Image width 240 mm, 1.00 mm slice spacing | Brain
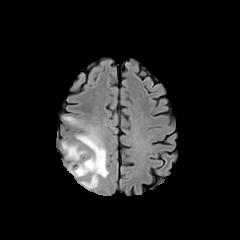
FLAIR MR.
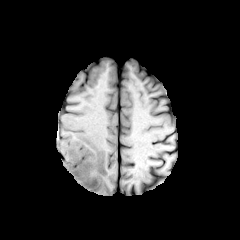
T1-weighted MR image.
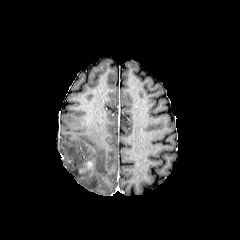
Same slice, post-contrast T1-weighted MR image.
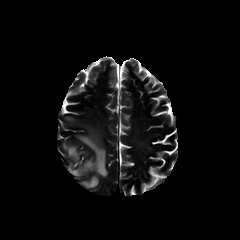
T2-weighted magnetic resonance.
Annotated regions:
- enhancing tumor: (79,161,93,172)
- peritumoral edema: (64,116,78,124), (62,127,108,188)